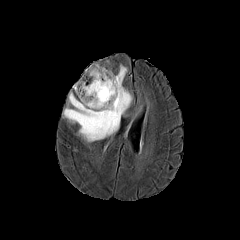
FLAIR MRI.
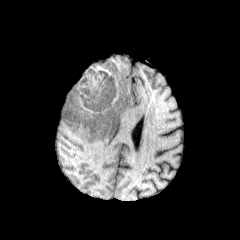
T1-weighted magnetic resonance.
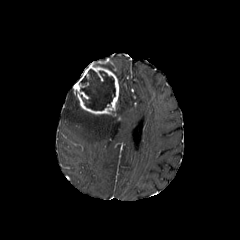
Same slice, post-contrast T1-weighted MRI.
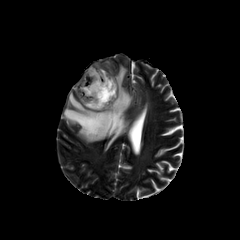
T2-weighted MR.
Head
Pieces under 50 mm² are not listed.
{"necrotic_tumor_core": ["rect(80, 69, 115, 110)"], "enhancing_tumor": ["rect(73, 64, 118, 116)"], "peritumoral_edema": ["rect(63, 64, 132, 142)"]}